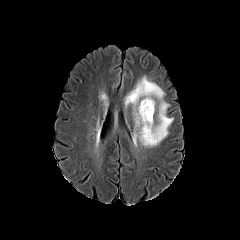
FLAIR magnetic resonance.
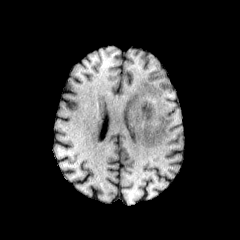
T1-weighted MR.
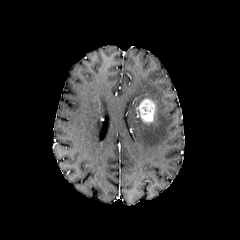
Same slice, post-contrast T1-weighted MRI.
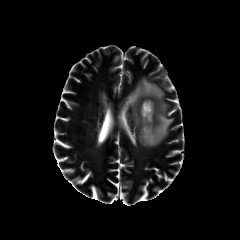
T2-weighted magnetic resonance of the same slice.
Axial view | Head
• enhancing tumor: 137 98 155 123
• peritumoral edema: 124 76 173 147